FLAIR MR image.
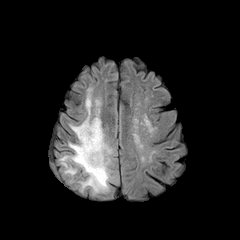
T1-weighted MR.
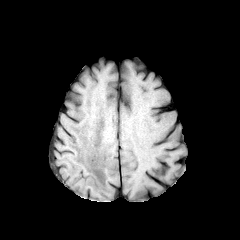
Post-contrast T1-weighted MR image.
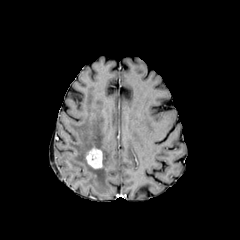
T2-weighted MR.
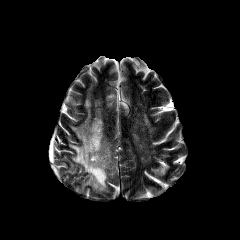
Axial view.
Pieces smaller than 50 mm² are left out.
{"peritumoral_edema": ["bbox(65, 168, 75, 173)", "bbox(60, 89, 112, 192)"], "enhancing_tumor": ["bbox(86, 148, 102, 168)"]}